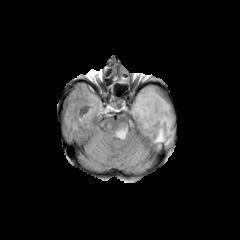
FLAIR magnetic resonance.
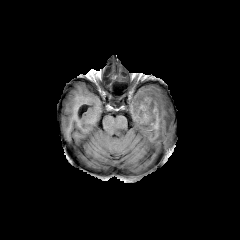
T1-weighted magnetic resonance.
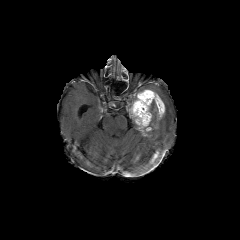
Post-contrast T1-weighted magnetic resonance.
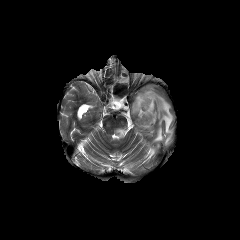
T2-weighted magnetic resonance.
240x240 px.
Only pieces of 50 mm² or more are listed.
peritumoral edema: (145, 96, 172, 147), (114, 120, 134, 139) | enhancing tumor: (129, 89, 165, 135)